FLAIR MR.
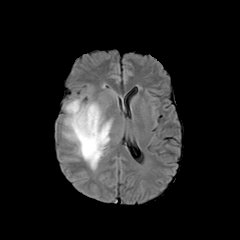
T1-weighted MR.
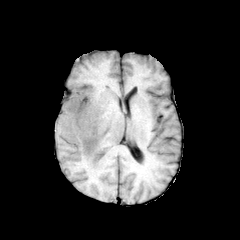
Post-contrast T1-weighted MR image.
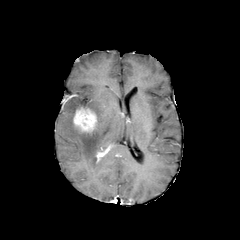
T2-weighted MR image.
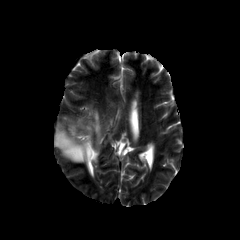
Head, Axial slice
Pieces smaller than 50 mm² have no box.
Annotated regions:
* enhancing tumor: [73,107,97,132]
* peritumoral edema: [61,99,113,170]